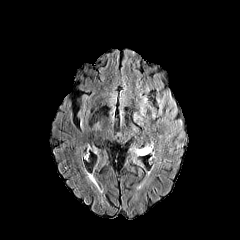
FLAIR MRI.
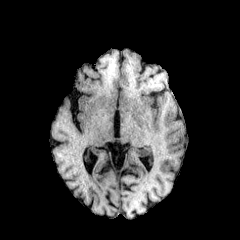
Same slice, T1-weighted MR image.
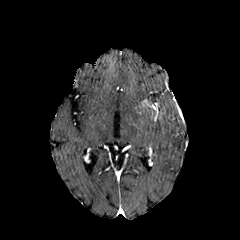
Post-contrast T1-weighted MRI.
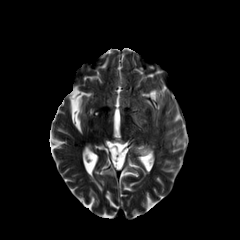
T2-weighted MR image.
Axial slice. Head.
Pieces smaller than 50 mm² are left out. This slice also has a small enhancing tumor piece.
peritumoral_edema:
  - box=[134, 145, 148, 155]
  - box=[132, 104, 156, 125]